Image size 240x240 | Brain
FLAIR MR.
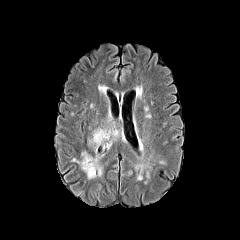
T1-weighted MR image.
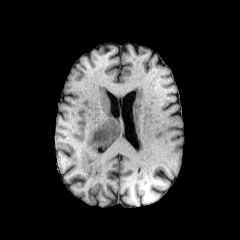
Post-contrast T1-weighted MR.
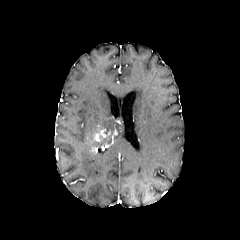
T2-weighted magnetic resonance.
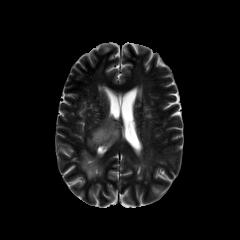
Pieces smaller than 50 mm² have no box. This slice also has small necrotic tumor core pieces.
<segmentation>
  <enhancing_tumor><bbox>87, 128, 117, 151</bbox></enhancing_tumor>
  <peritumoral_edema><bbox>97, 116, 120, 140</bbox>, <bbox>73, 151, 103, 179</bbox></peritumoral_edema>
</segmentation>